FLAIR MR image.
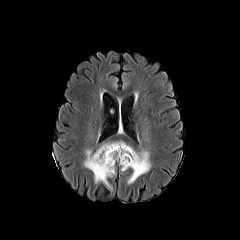
T1-weighted MR.
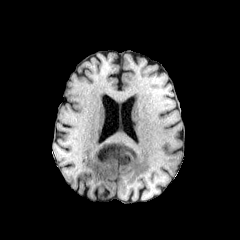
Post-contrast T1-weighted MR image.
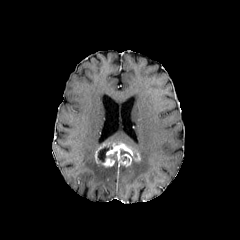
T2-weighted magnetic resonance.
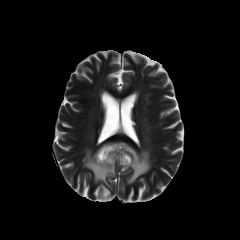
Axial plane; Head
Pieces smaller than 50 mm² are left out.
The enhancing tumor is bounded by l=94, t=141, r=140, b=166. The largest necrotic tumor core region is at l=98, t=147, r=109, b=161. The 2 largest peritumoral edema regions are located at l=84, t=150, r=115, b=189; l=121, t=150, r=150, b=183.